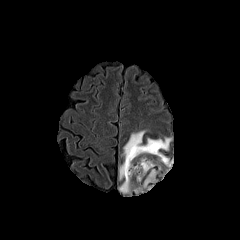
FLAIR MR.
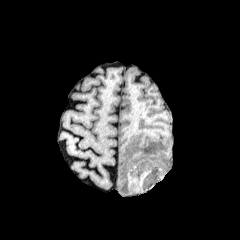
T1-weighted MRI of the same slice.
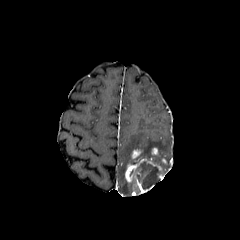
Post-contrast T1-weighted MR image.
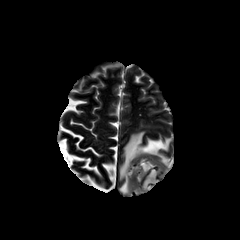
Same slice, T2-weighted magnetic resonance.
Image size 240x240 | Axial view
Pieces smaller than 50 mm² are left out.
The 2 largest enhancing tumor regions appear at (125, 149, 167, 193), (151, 147, 160, 156). 2 peritumoral edema regions are located at (119, 179, 132, 193), (119, 131, 171, 179). The largest necrotic tumor core region is at (137, 162, 159, 189).